Slice 67/155
FLAIR MRI.
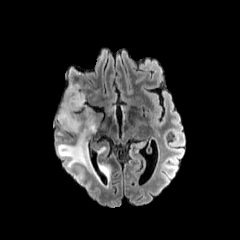
T1-weighted MRI.
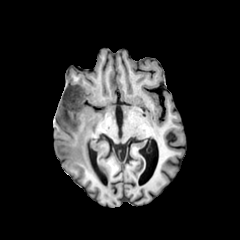
Post-contrast T1-weighted MR.
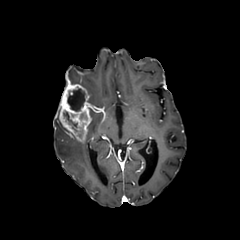
T2-weighted magnetic resonance.
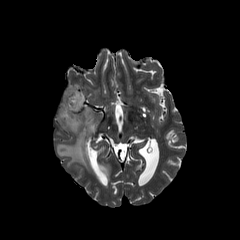
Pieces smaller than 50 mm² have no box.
<segmentation>
  <enhancing_tumor>left=58, top=83, right=91, bottom=142</enhancing_tumor>
  <peritumoral_edema>left=87, top=114, right=96, bottom=134; left=98, top=164, right=109, bottom=177; left=57, top=141, right=96, bottom=176</peritumoral_edema>
  <necrotic_tumor_core>left=63, top=112, right=77, bottom=127; left=67, top=89, right=85, bottom=111</necrotic_tumor_core>
</segmentation>